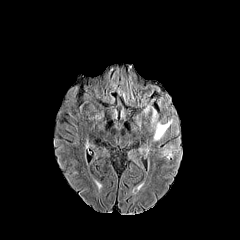
FLAIR MR image.
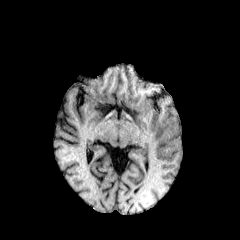
T1-weighted MR of the same slice.
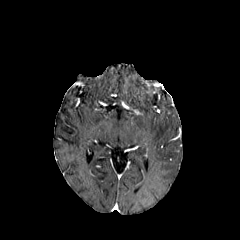
Post-contrast T1-weighted MRI.
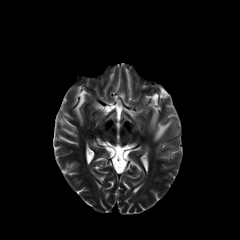
T2-weighted magnetic resonance.
Axial plane | Brain
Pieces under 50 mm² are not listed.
<segmentation>
  <peritumoral_edema>bbox=[163, 145, 173, 159]; bbox=[151, 110, 173, 141]</peritumoral_edema>
</segmentation>